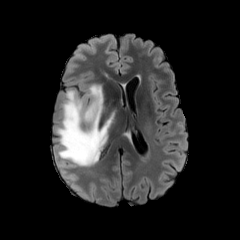
FLAIR MR.
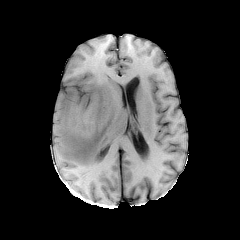
T1-weighted MR of the same slice.
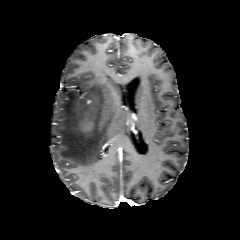
Post-contrast T1-weighted MR of the same slice.
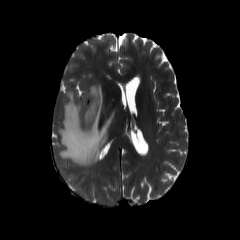
T2-weighted MR image of the same slice.
Axial plane. Brain. 240x240.
The peritumoral edema is bounded by bbox=[55, 83, 114, 167].